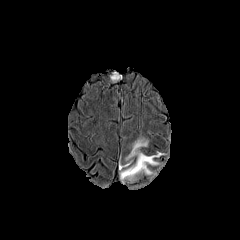
FLAIR MRI.
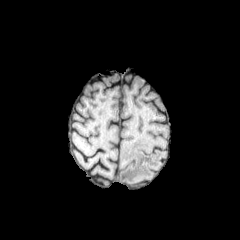
T1-weighted magnetic resonance.
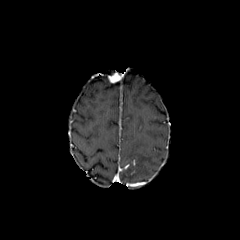
Same slice, post-contrast T1-weighted MR image.
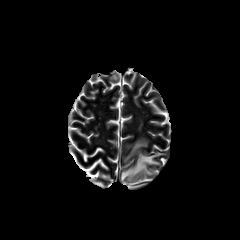
T2-weighted magnetic resonance.
Axial slice
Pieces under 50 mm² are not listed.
peritumoral edema at [120, 139, 163, 183]